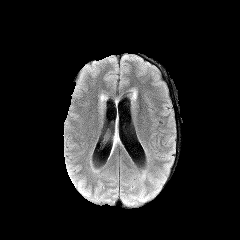
FLAIR MRI.
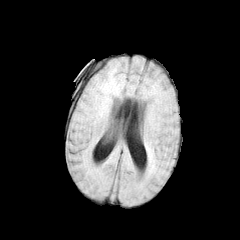
T1-weighted MR.
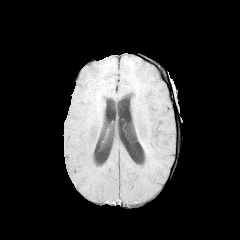
Post-contrast T1-weighted magnetic resonance.
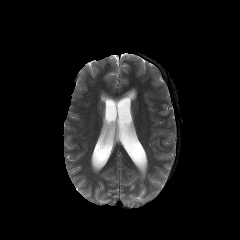
T2-weighted MRI.
Brain, Axial view
<segmentation>
  <peritumoral_edema>x1=111, y1=125, x2=120, y2=153</peritumoral_edema>
</segmentation>